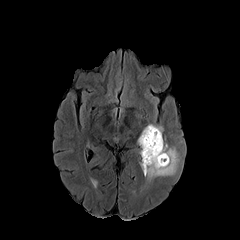
FLAIR MRI.
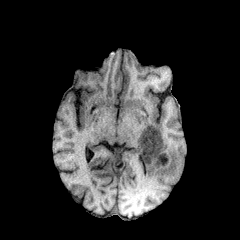
T1-weighted MR image of the same slice.
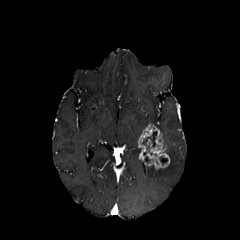
Post-contrast T1-weighted MR.
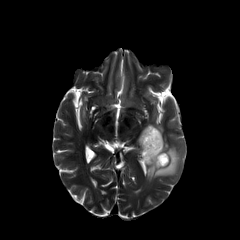
T2-weighted magnetic resonance.
Brain; 240x240 px
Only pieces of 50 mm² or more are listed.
peritumoral_edema:
  - x1=141 y1=142 x2=179 y2=181
enhancing_tumor:
  - x1=138 y1=124 x2=170 y2=169
necrotic_tumor_core:
  - x1=142 y1=131 x2=157 y2=146